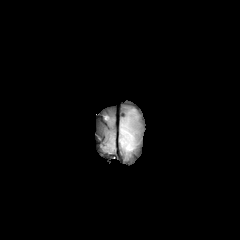
FLAIR magnetic resonance.
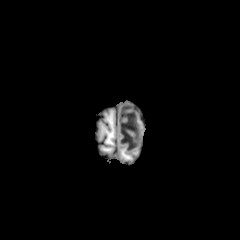
T1-weighted magnetic resonance of the same slice.
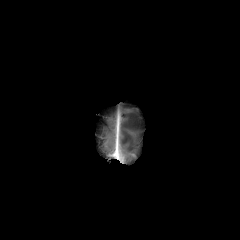
Post-contrast T1-weighted MR image.
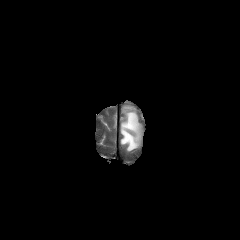
Same slice, T2-weighted MRI.
Brain.
<segmentation>
  <peritumoral_edema>(x1=122, y1=118, x2=135, y2=150)</peritumoral_edema>
</segmentation>